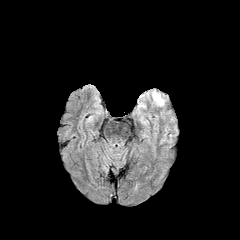
FLAIR magnetic resonance.
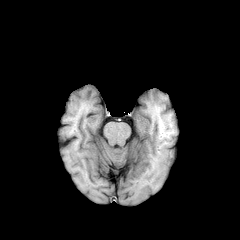
Same slice, T1-weighted magnetic resonance.
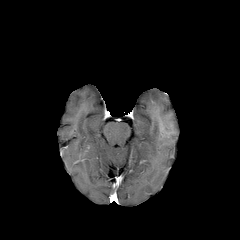
Post-contrast T1-weighted MRI of the same slice.
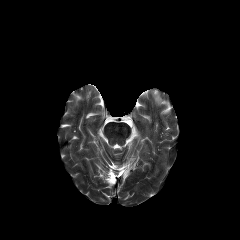
T2-weighted MR.
240x240, Brain, Axial view
Findings:
* peritumoral edema: <bbox>152, 91, 163, 105</bbox>